Slice 79 of 155; Axial view; Head
FLAIR MRI.
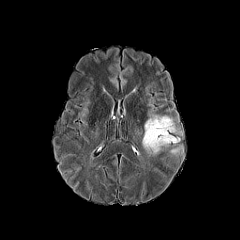
T1-weighted magnetic resonance.
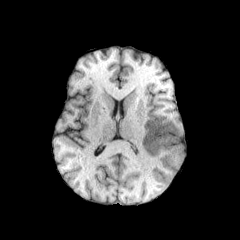
Post-contrast T1-weighted MR image.
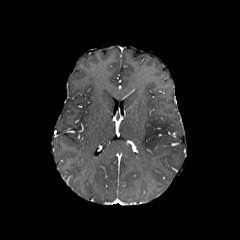
T2-weighted MR.
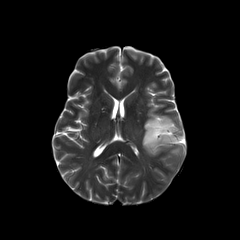
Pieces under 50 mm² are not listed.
The 2 largest peritumoral edema regions appear at 170:146:182:154, 142:115:179:153.